FLAIR MRI.
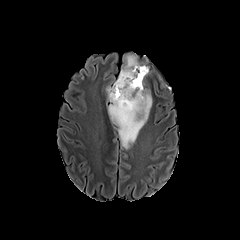
T1-weighted MR image.
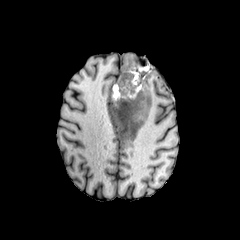
Post-contrast T1-weighted MRI.
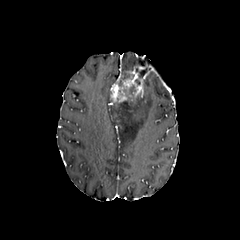
T2-weighted MR image.
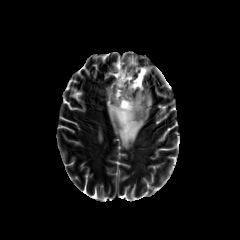
240x240.
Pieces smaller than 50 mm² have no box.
<segmentation>
  <peritumoral_edema>(x1=121, y1=53, x2=149, y2=74), (x1=107, y1=88, x2=152, y2=150), (x1=106, y1=85, x2=111, y2=101)</peritumoral_edema>
  <enhancing_tumor>(x1=110, y1=66, x2=148, y2=106)</enhancing_tumor>
  <necrotic_tumor_core>(x1=115, y1=85, x2=135, y2=117)</necrotic_tumor_core>
</segmentation>